FLAIR magnetic resonance.
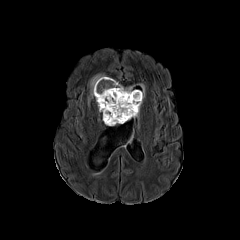
T1-weighted MR image.
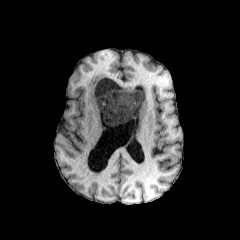
Post-contrast T1-weighted MR.
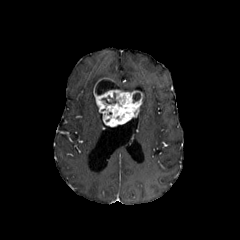
T2-weighted magnetic resonance.
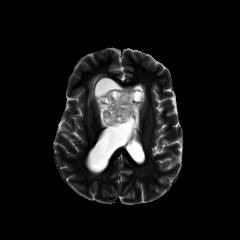
240x240 px
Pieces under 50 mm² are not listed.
- peritumoral edema: 88:74:109:104, 114:80:135:91
- enhancing tumor: 93:78:143:126
- necrotic tumor core: 133:93:140:102, 95:79:117:94